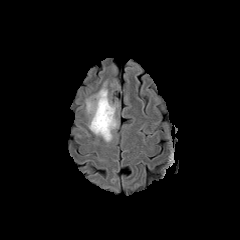
FLAIR magnetic resonance.
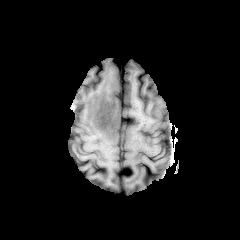
T1-weighted MRI.
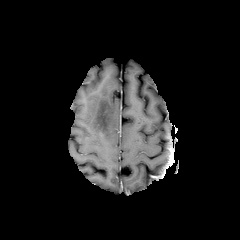
Same slice, post-contrast T1-weighted MRI.
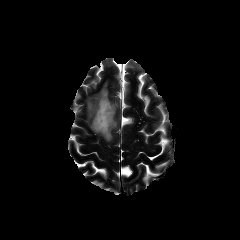
T2-weighted MRI.
Image size 240x240
Findings:
- peritumoral edema: box(86, 82, 118, 141)